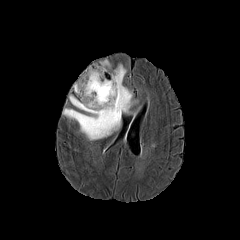
FLAIR magnetic resonance.
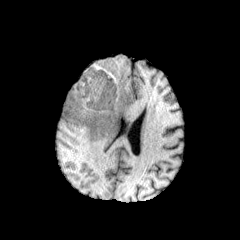
T1-weighted MR of the same slice.
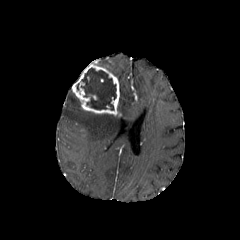
Post-contrast T1-weighted MR.
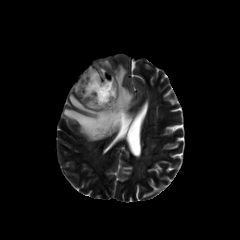
T2-weighted MR.
Axial view | Brain
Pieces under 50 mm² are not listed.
necrotic tumor core: (81,68,116,110) | enhancing tumor: (72,64,121,116) | peritumoral edema: (113,64,132,113), (69,94,82,109), (63,108,120,140), (100,60,111,68)